Image size 240x240 | Axial plane | Slice 84 of 155
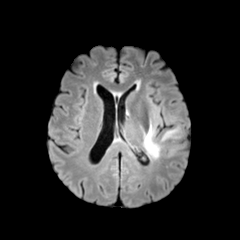
FLAIR MR.
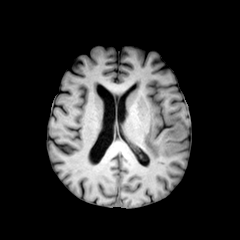
T1-weighted MR image.
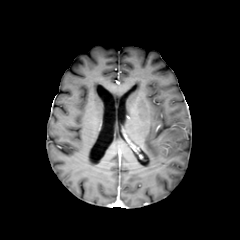
Post-contrast T1-weighted MRI.
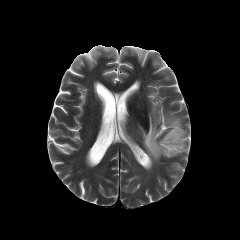
Same slice, T2-weighted MR.
Findings:
- peritumoral edema: left=143, top=121, right=182, bottom=159; left=169, top=145, right=178, bottom=154